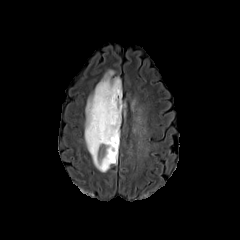
FLAIR MR.
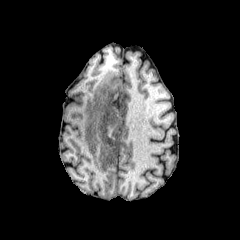
Same slice, T1-weighted MR image.
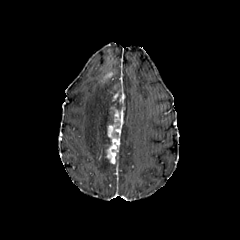
Post-contrast T1-weighted MRI.
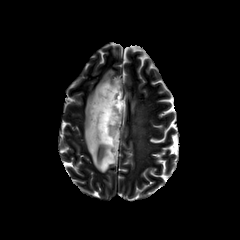
Same slice, T2-weighted MR.
Axial view
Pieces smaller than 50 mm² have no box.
peritumoral edema at 84:76:120:172
necrotic tumor core at 110:83:121:95, 107:126:113:144, 110:96:121:109
enhancing tumor at 105:86:125:163, 102:72:114:82